Image covers 240 mm x 240 mm | Head
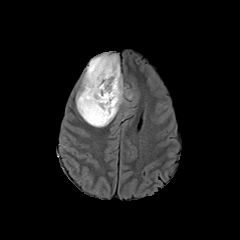
FLAIR magnetic resonance.
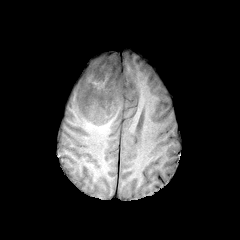
T1-weighted MRI.
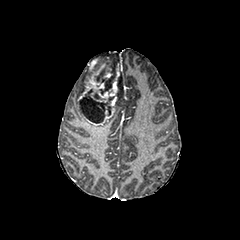
Same slice, post-contrast T1-weighted magnetic resonance.
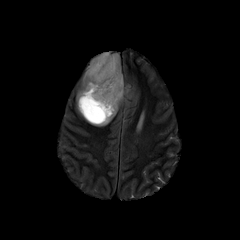
T2-weighted MR image.
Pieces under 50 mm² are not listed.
{"necrotic_tumor_core": ["<bbox>99, 76, 114, 94</bbox>", "<bbox>78, 89, 111, 123</bbox>"], "enhancing_tumor": ["<bbox>78, 59, 119, 125</bbox>"], "peritumoral_edema": ["<bbox>95, 67, 105, 82</bbox>", "<bbox>76, 52, 132, 127</bbox>"]}